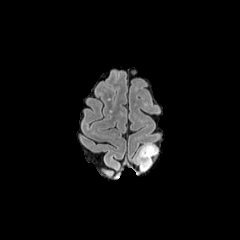
FLAIR magnetic resonance.
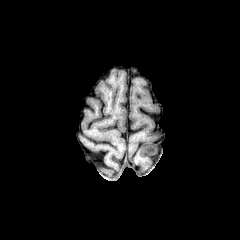
Same slice, T1-weighted MRI.
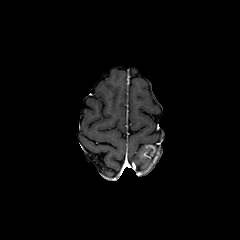
Same slice, post-contrast T1-weighted MRI.
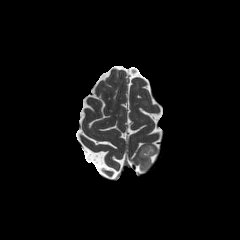
Same slice, T2-weighted MRI.
Axial plane. Head.
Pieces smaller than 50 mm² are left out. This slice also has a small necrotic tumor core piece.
* peritumoral edema: l=136, t=153, r=151, b=170
* enhancing tumor: l=140, t=145, r=155, b=158